Slice 124 of 155, Head
FLAIR MRI.
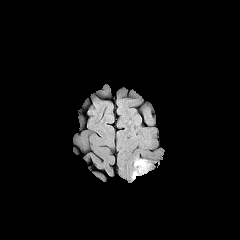
T1-weighted MRI.
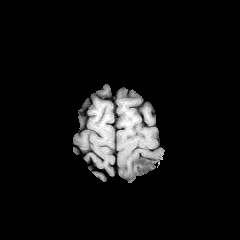
Post-contrast T1-weighted MRI.
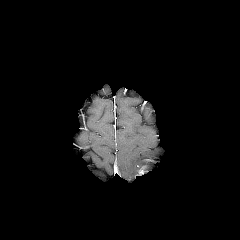
T2-weighted MRI.
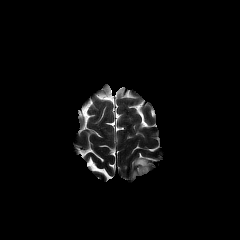
peritumoral edema = (left=132, top=159, right=148, bottom=178)
enhancing tumor = (left=136, top=166, right=145, bottom=175)